Brain, Slice 100 of 155
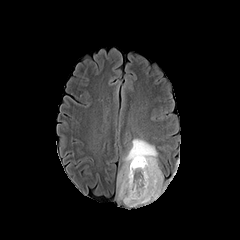
FLAIR MR image.
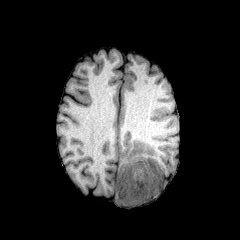
Same slice, T1-weighted MR image.
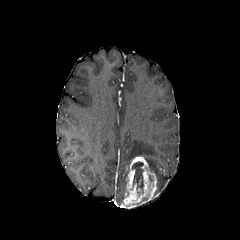
Post-contrast T1-weighted magnetic resonance.
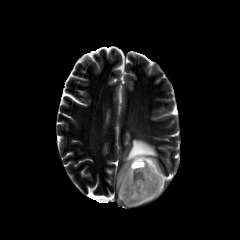
T2-weighted MR image.
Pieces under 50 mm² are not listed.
The largest necrotic tumor core region appears at (132,161,143,193). The peritumoral edema lies within (117,139,163,200). The largest enhancing tumor region is at (123,156,159,208).